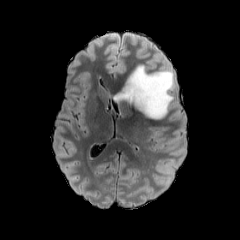
FLAIR MR image.
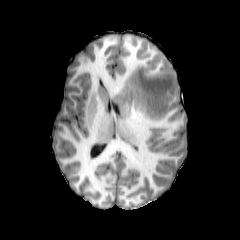
T1-weighted MR image.
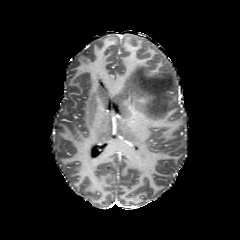
Post-contrast T1-weighted MRI.
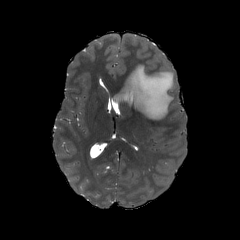
T2-weighted MRI of the same slice.
Axial view | Head
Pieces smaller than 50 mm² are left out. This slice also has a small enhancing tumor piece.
peritumoral edema: x1=113, y1=64, x2=176, y2=119